Slice index 109, Head
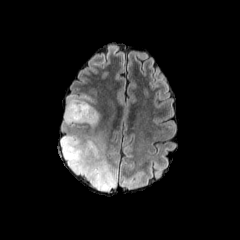
FLAIR MR image.
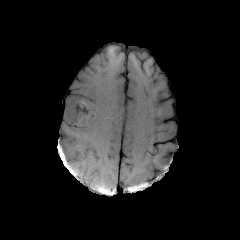
T1-weighted MRI of the same slice.
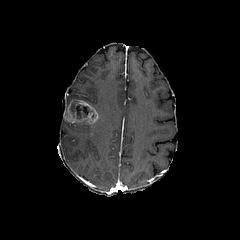
Post-contrast T1-weighted MR.
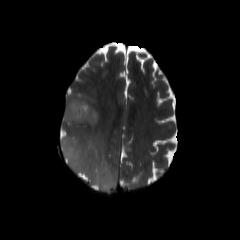
Same slice, T2-weighted MR.
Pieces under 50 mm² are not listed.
Findings:
- peritumoral edema: x1=67, y1=95, x2=94, y2=107; x1=61, y1=135, x2=117, y2=191; x1=77, y1=108, x2=101, y2=126
- necrotic tumor core: x1=69, y1=103, x2=91, y2=119
- enhancing tumor: x1=64, y1=99, x2=98, y2=123